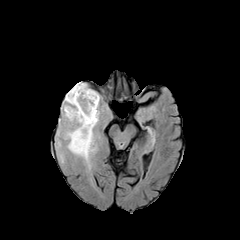
FLAIR MR.
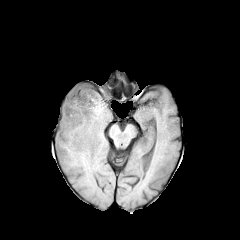
T1-weighted MR.
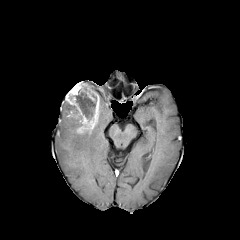
Post-contrast T1-weighted MR.
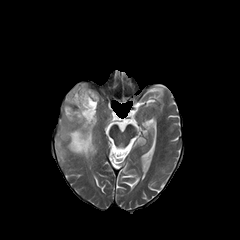
T2-weighted MRI.
Image size 240x240 | Axial view
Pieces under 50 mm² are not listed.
Annotated regions:
* necrotic tumor core: {"x1": 75, "y1": 92, "x2": 95, "y2": 119}
* peritumoral edema: {"x1": 63, "y1": 102, "x2": 96, "y2": 161}
* enhancing tumor: {"x1": 65, "y1": 82, "x2": 99, "y2": 133}